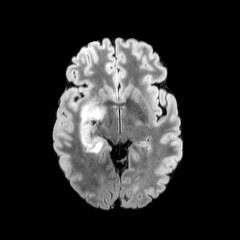
FLAIR MR image.
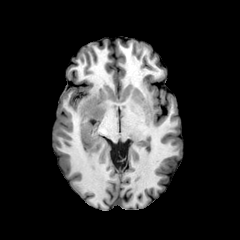
T1-weighted MRI.
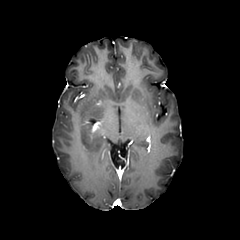
Post-contrast T1-weighted MR.
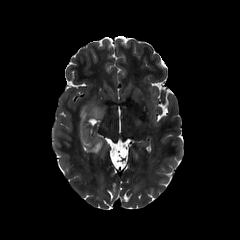
T2-weighted MR.
240x240 | Axial slice
- peritumoral edema: 80, 101, 105, 154